FLAIR MRI.
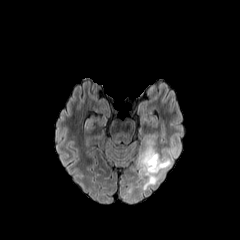
T1-weighted MR image.
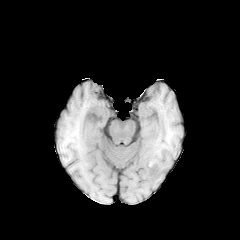
Post-contrast T1-weighted MR image.
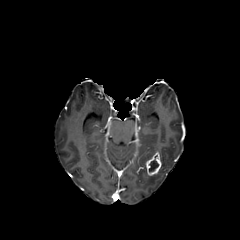
T2-weighted MRI.
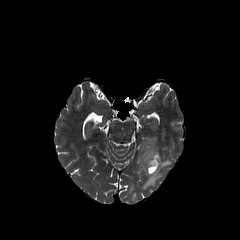
240x240 px
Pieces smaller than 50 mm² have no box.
enhancing tumor: region(145, 152, 161, 175) | necrotic tumor core: region(149, 160, 158, 171) | peritumoral edema: region(137, 137, 171, 189)